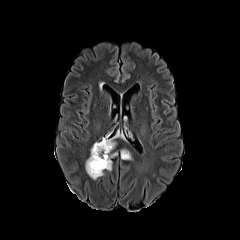
FLAIR MR.
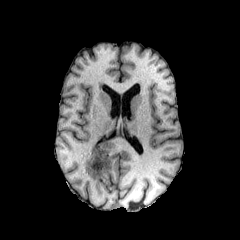
Same slice, T1-weighted MR image.
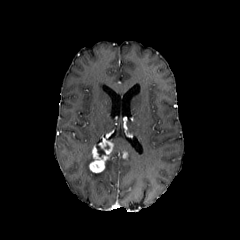
Post-contrast T1-weighted MR.
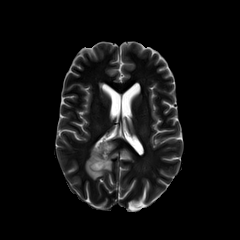
T2-weighted MR.
Axial plane | Brain
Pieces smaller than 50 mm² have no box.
The 3 largest peritumoral edema regions appear at bbox(105, 152, 117, 171); bbox(121, 149, 132, 160); bbox(85, 147, 104, 179). The largest necrotic tumor core region is bounded by bbox(96, 144, 105, 156). The largest enhancing tumor region is located at bbox(89, 138, 113, 173).